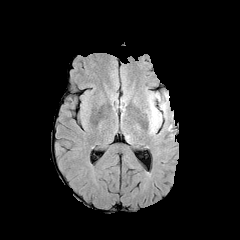
FLAIR magnetic resonance.
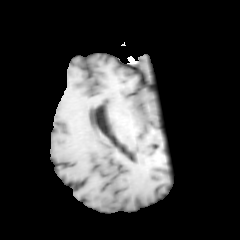
T1-weighted MR image of the same slice.
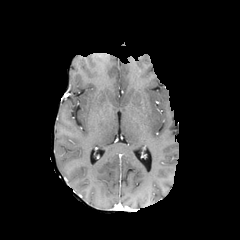
Same slice, post-contrast T1-weighted MR image.
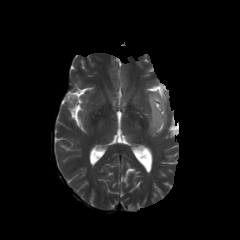
Same slice, T2-weighted MR.
240x240 px; Brain; Axial plane
Annotated regions:
* peritumoral edema: rect(146, 92, 162, 133)